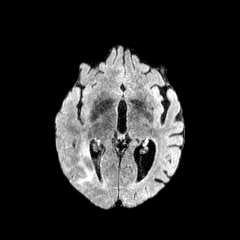
FLAIR MR.
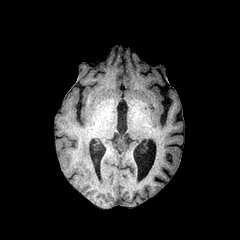
Same slice, T1-weighted MR.
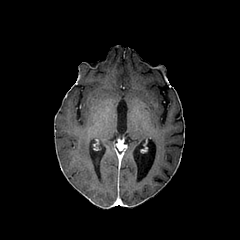
Post-contrast T1-weighted MRI.
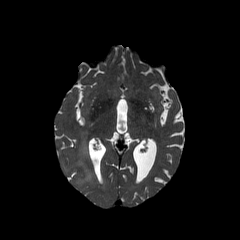
T2-weighted magnetic resonance.
Axial view. Image size 240x240.
peritumoral_edema:
  - <box>77,142,95,184</box>